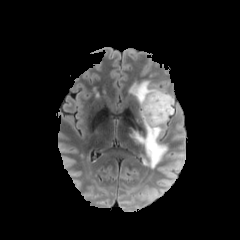
FLAIR MR image.
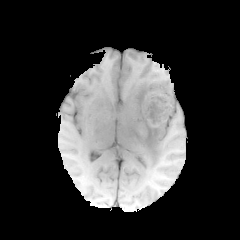
Same slice, T1-weighted magnetic resonance.
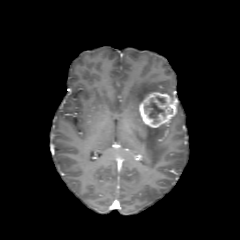
Same slice, post-contrast T1-weighted MR.
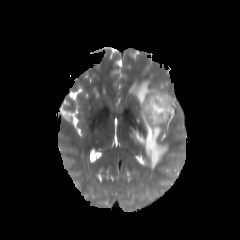
Same slice, T2-weighted MRI.
Axial plane
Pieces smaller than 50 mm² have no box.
enhancing tumor = (x1=139, y1=92, x2=176, y2=127)
peritumoral edema = (x1=129, y1=81, x2=169, y2=103), (x1=134, y1=122, x2=166, y2=168)
necrotic tumor core = (x1=156, y1=96, x2=165, y2=104), (x1=144, y1=98, x2=164, y2=123)